Axial view
FLAIR MRI.
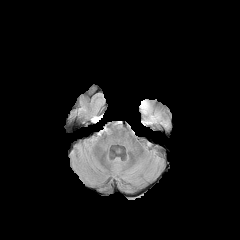
T1-weighted MRI.
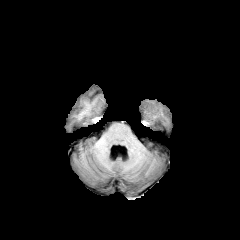
Post-contrast T1-weighted MRI.
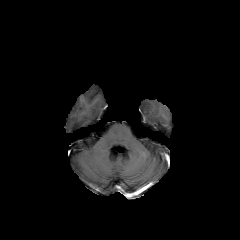
T2-weighted MR image.
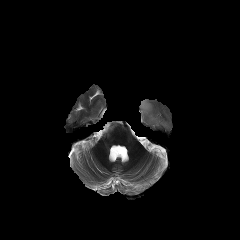
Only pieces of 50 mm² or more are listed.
Annotated regions:
• peritumoral edema: <bbox>140, 100, 160, 124</bbox>